FLAIR MR.
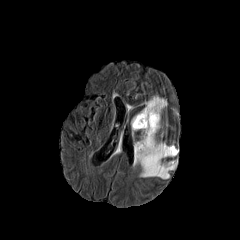
T1-weighted MRI.
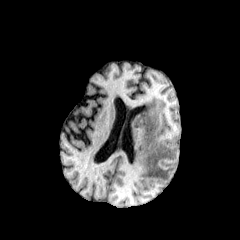
Post-contrast T1-weighted MRI.
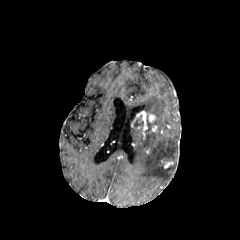
T2-weighted MRI.
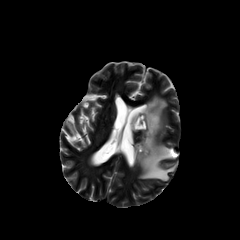
Axial view, Brain
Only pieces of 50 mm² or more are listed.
{"enhancing_tumor": ["region(136, 111, 147, 138)", "region(148, 114, 155, 122)"], "peritumoral_edema": ["region(133, 95, 177, 179)", "region(131, 115, 143, 132)"]}